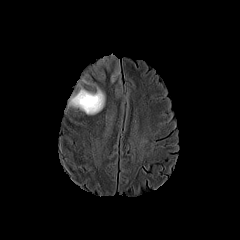
FLAIR magnetic resonance.
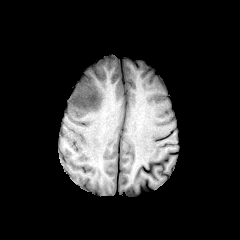
T1-weighted MR image of the same slice.
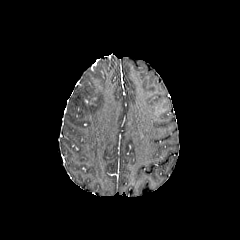
Post-contrast T1-weighted MR image.
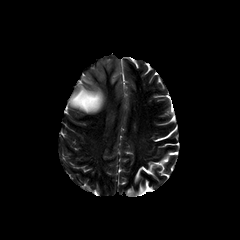
Same slice, T2-weighted MRI.
Axial plane.
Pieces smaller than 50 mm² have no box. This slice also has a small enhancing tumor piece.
Findings:
• peritumoral edema: (68, 56, 122, 114)